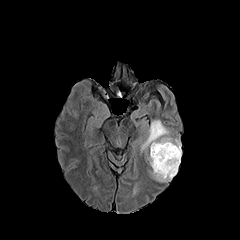
FLAIR MR.
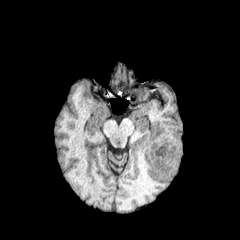
T1-weighted magnetic resonance.
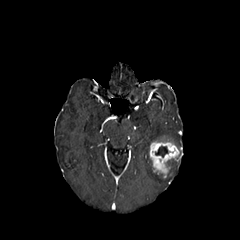
Post-contrast T1-weighted magnetic resonance.
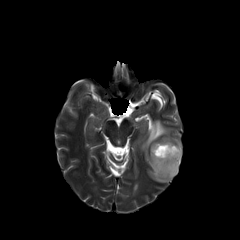
T2-weighted MR of the same slice.
Head
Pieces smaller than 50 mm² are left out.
peritumoral edema at x1=151, y1=159, x2=180, y2=181; x1=141, y1=120, x2=180, y2=151
necrotic tumor core at x1=155, y1=146, x2=168, y2=157
enhancing tumor at x1=149, y1=137, x2=181, y2=178